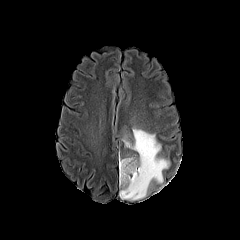
FLAIR magnetic resonance.
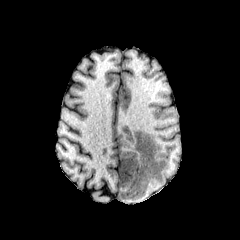
T1-weighted MR.
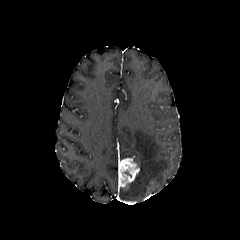
Same slice, post-contrast T1-weighted MR.
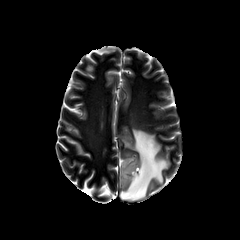
T2-weighted MR image.
Axial plane
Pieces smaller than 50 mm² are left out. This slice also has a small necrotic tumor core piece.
peritumoral edema: bbox=[119, 128, 169, 200]
enhancing tumor: bbox=[118, 158, 139, 187]